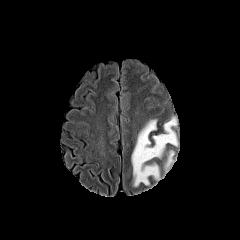
FLAIR magnetic resonance.
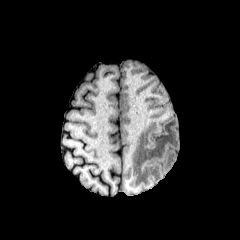
T1-weighted MR image of the same slice.
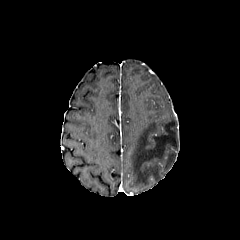
Post-contrast T1-weighted magnetic resonance.
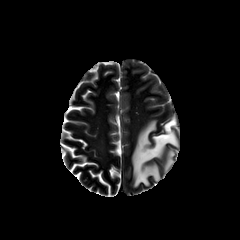
T2-weighted magnetic resonance of the same slice.
Head.
peritumoral edema — {"x1": 164, "y1": 150, "x2": 174, "y2": 172}, {"x1": 131, "y1": 117, "x2": 178, "y2": 186}